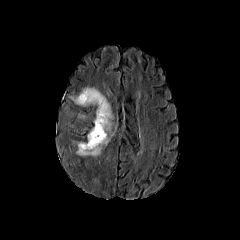
FLAIR magnetic resonance.
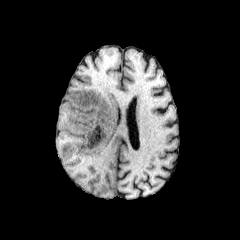
T1-weighted MRI.
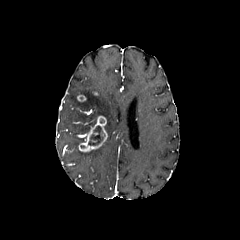
Post-contrast T1-weighted MR.
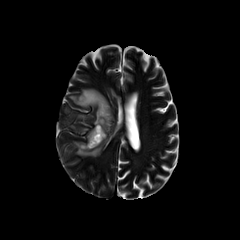
Same slice, T2-weighted MR.
Brain
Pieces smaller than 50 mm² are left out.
enhancing tumor: bounding box l=78, t=115, r=107, b=152
peritumoral edema: bounding box l=70, t=87, r=113, b=132; l=76, t=135, r=112, b=156
necrotic tumor core: bounding box l=88, t=125, r=104, b=145